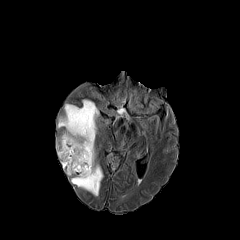
FLAIR MR image.
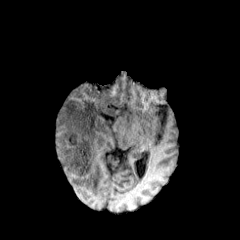
T1-weighted MRI of the same slice.
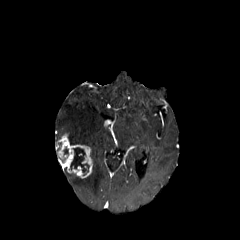
Same slice, post-contrast T1-weighted MRI.
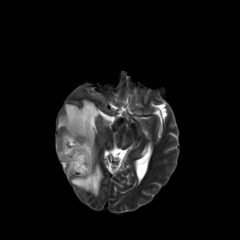
T2-weighted MRI of the same slice.
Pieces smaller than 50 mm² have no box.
* enhancing tumor: 56,133,92,178
* necrotic tumor core: 70,148,89,174
* peritumoral edema: 57,99,98,162; 71,163,103,196